FLAIR MRI.
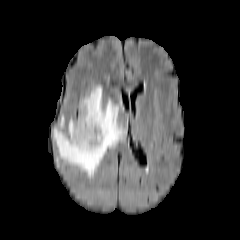
T1-weighted magnetic resonance.
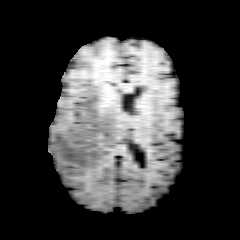
Post-contrast T1-weighted MR.
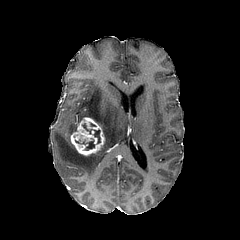
T2-weighted magnetic resonance.
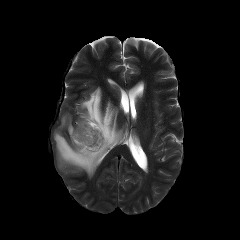
Head
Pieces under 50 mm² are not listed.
<segmentation>
  <peritumoral_edema>(left=53, top=86, right=125, bottom=177)</peritumoral_edema>
  <enhancing_tumor>(left=70, top=117, right=105, bottom=155)</enhancing_tumor>
  <necrotic_tumor_core>(left=94, top=130, right=100, bottom=143), (left=85, top=140, right=94, bottom=150)</necrotic_tumor_core>
</segmentation>